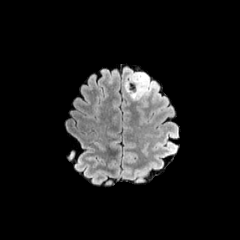
FLAIR MR.
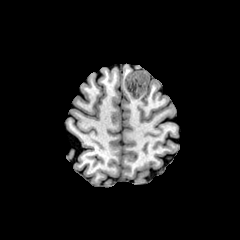
T1-weighted MR image.
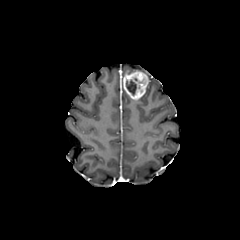
Post-contrast T1-weighted MRI.
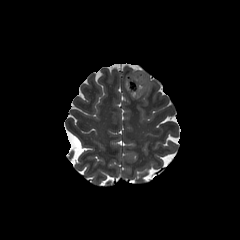
Same slice, T2-weighted magnetic resonance.
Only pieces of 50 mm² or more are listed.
The enhancing tumor is located at <box>123,71,148,99</box>. The largest necrotic tumor core region appears at <box>126,80,136,95</box>. The largest peritumoral edema region is bounded by <box>143,79,155,95</box>.